Head | Slice 116 of 155
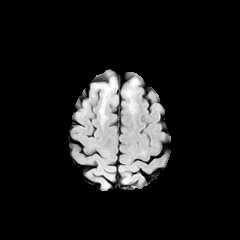
FLAIR magnetic resonance.
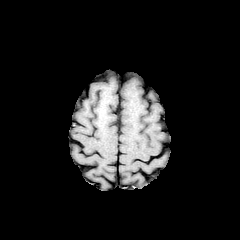
T1-weighted MR image.
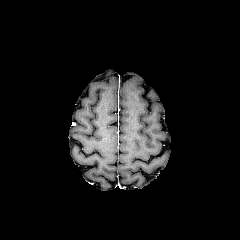
Post-contrast T1-weighted MRI.
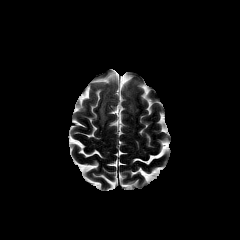
T2-weighted MR.
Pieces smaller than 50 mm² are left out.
The 3 largest peritumoral edema regions are located at x1=100 y1=73 x2=116 y2=122, x1=124 y1=78 x2=138 y2=99, x1=129 y1=100 x2=136 y2=112.